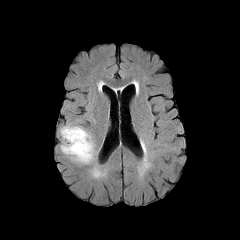
FLAIR MR image.
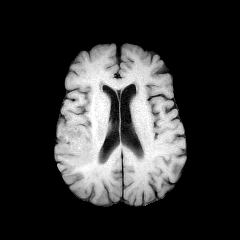
T1-weighted MR.
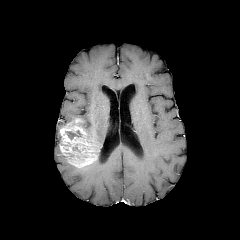
Post-contrast T1-weighted MR.
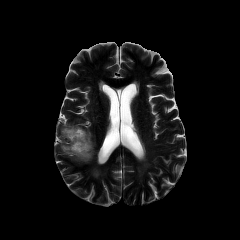
T2-weighted MR.
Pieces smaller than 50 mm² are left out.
The largest necrotic tumor core region appears at (66,130,81,139). The enhancing tumor is at (60,119,96,167). The largest peritumoral edema region is located at (83,128,95,150).